FLAIR MRI.
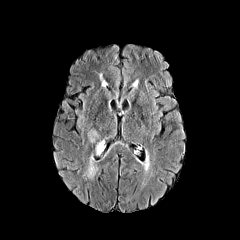
T1-weighted magnetic resonance.
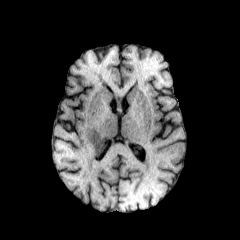
Post-contrast T1-weighted MR image.
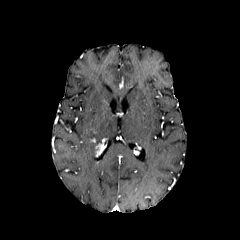
T2-weighted magnetic resonance.
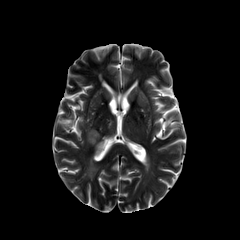
Image size 240x240
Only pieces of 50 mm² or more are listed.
- enhancing tumor: 95, 138, 106, 157
- peritumoral edema: 87, 128, 99, 141; 85, 152, 98, 180